Axial plane, 240x240 px
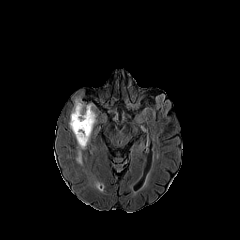
FLAIR magnetic resonance.
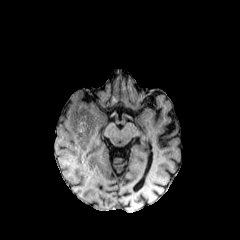
T1-weighted MR.
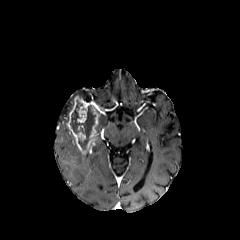
Post-contrast T1-weighted magnetic resonance of the same slice.
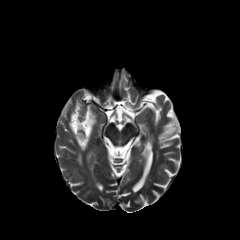
T2-weighted MR of the same slice.
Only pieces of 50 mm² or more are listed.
peritumoral edema: bbox(77, 149, 82, 164)
necrotic tumor core: bbox(70, 100, 95, 149)
enhancing tumor: bbox(67, 95, 98, 153)